Axial plane, Slice index 94, Image width 240 mm, Brain
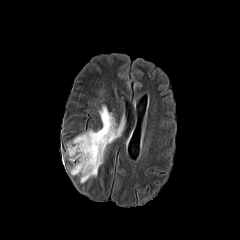
FLAIR MRI.
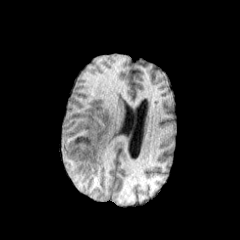
T1-weighted magnetic resonance.
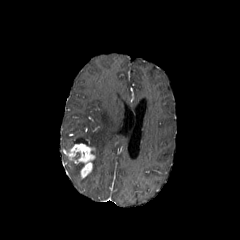
Same slice, post-contrast T1-weighted MR.
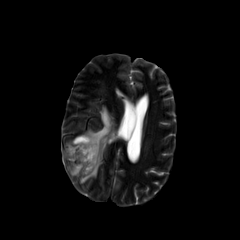
T2-weighted MR image of the same slice.
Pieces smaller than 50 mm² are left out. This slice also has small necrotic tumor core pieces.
The peritumoral edema is located at l=66, t=103, r=125, b=183. The largest enhancing tumor region lies within l=65, t=143, r=95, b=178.